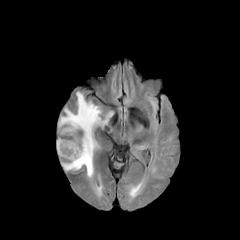
FLAIR MR.
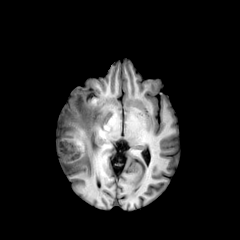
T1-weighted MRI.
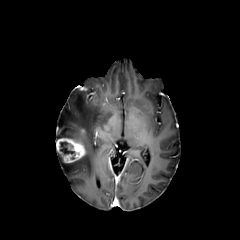
Post-contrast T1-weighted MR image.
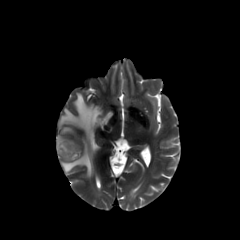
T2-weighted magnetic resonance of the same slice.
Axial slice; Head
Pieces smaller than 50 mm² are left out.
- necrotic tumor core: rect(64, 127, 81, 139); rect(60, 142, 74, 154)
- enhancing tumor: rect(56, 137, 86, 163)
- peritumoral edema: rect(58, 92, 113, 178)